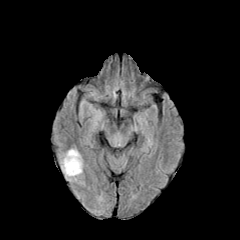
FLAIR MRI.
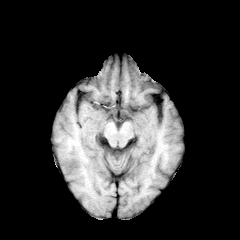
T1-weighted magnetic resonance of the same slice.
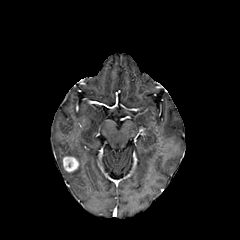
Post-contrast T1-weighted MR.
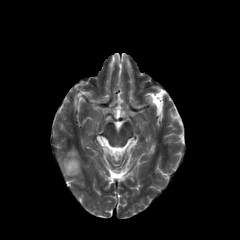
T2-weighted MRI.
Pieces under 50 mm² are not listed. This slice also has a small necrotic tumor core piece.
The peritumoral edema is bounded by box=[59, 149, 82, 181]. The enhancing tumor is at box=[63, 156, 78, 172].